FLAIR magnetic resonance.
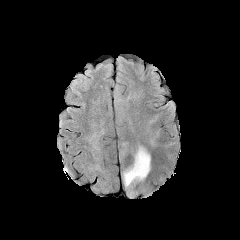
T1-weighted magnetic resonance.
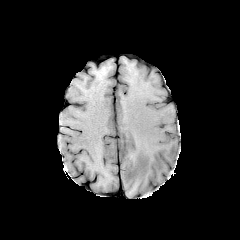
Post-contrast T1-weighted MR image.
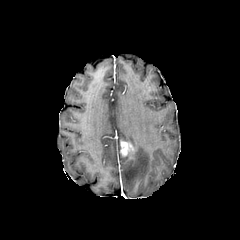
T2-weighted magnetic resonance.
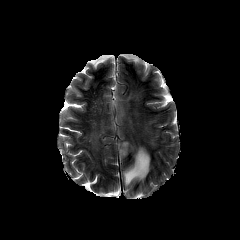
240x240 px
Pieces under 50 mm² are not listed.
The largest peritumoral edema region is bounded by 122, 145, 150, 196. The enhancing tumor lies within 120, 141, 131, 156.